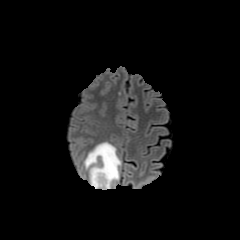
FLAIR MR.
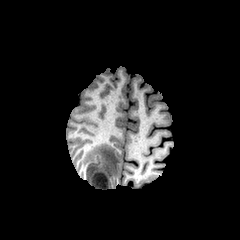
T1-weighted magnetic resonance.
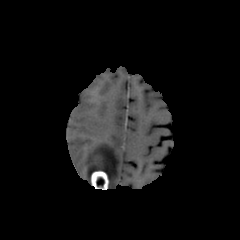
Post-contrast T1-weighted MRI of the same slice.
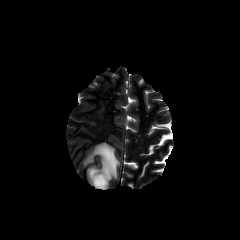
Same slice, T2-weighted MRI.
Brain, Axial view
necrotic tumor core at rect(96, 177, 104, 186)
peritumoral edema at rect(83, 142, 121, 188)
enhancing tumor at rect(91, 171, 108, 189)